FLAIR MR image.
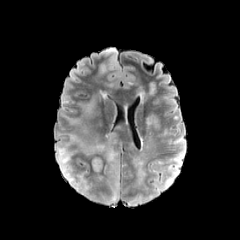
T1-weighted MR image.
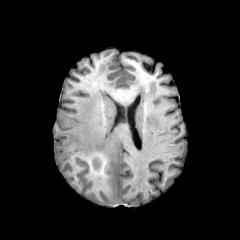
Post-contrast T1-weighted MR.
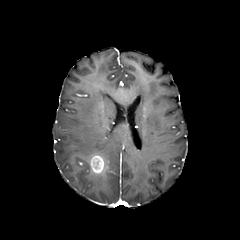
T2-weighted MR.
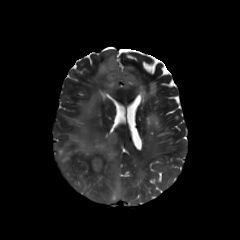
Head | 240x240 | Axial plane
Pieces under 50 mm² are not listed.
The enhancing tumor appears at (90, 155, 107, 173). The 4 largest peritumoral edema regions are located at (70, 118, 81, 124), (66, 134, 119, 202), (83, 100, 94, 116), (57, 147, 72, 181).